Brain | Axial slice | 240x240
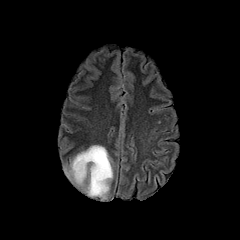
FLAIR magnetic resonance.
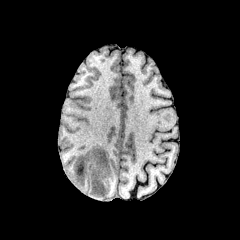
Same slice, T1-weighted magnetic resonance.
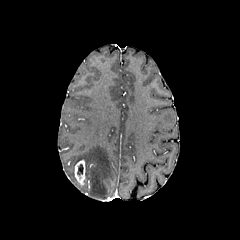
Post-contrast T1-weighted magnetic resonance.
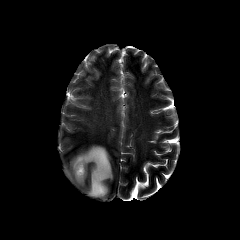
T2-weighted MR image of the same slice.
enhancing tumor = [74,160,85,185]
peritumoral edema = [66,145,113,198]
necrotic tumor core = [77,164,83,175]